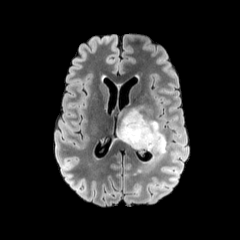
FLAIR magnetic resonance.
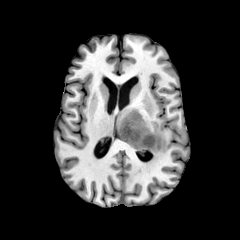
T1-weighted magnetic resonance of the same slice.
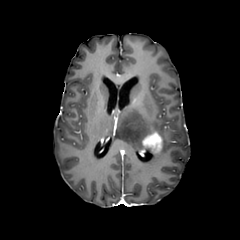
Post-contrast T1-weighted MRI.
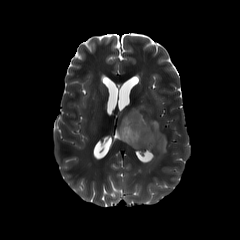
Same slice, T2-weighted MRI.
peritumoral edema — x1=117 y1=108 x2=166 y2=165
enhancing tumor — x1=142 y1=131 x2=163 y2=152